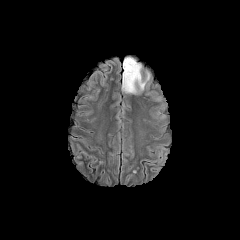
FLAIR MR.
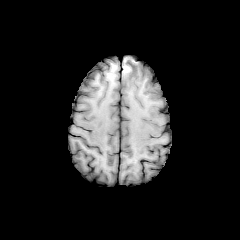
T1-weighted MRI.
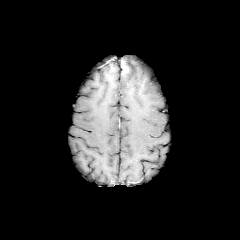
Post-contrast T1-weighted magnetic resonance of the same slice.
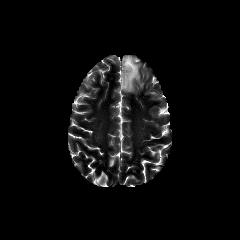
T2-weighted MRI.
240x240
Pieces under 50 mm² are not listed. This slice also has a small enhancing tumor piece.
necrotic tumor core: bounding box left=124, top=61, right=131, bottom=75
peritumoral edema: bounding box left=121, top=57, right=149, bottom=93